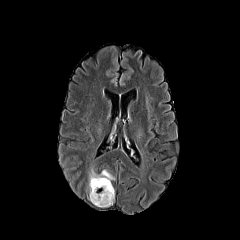
FLAIR MRI.
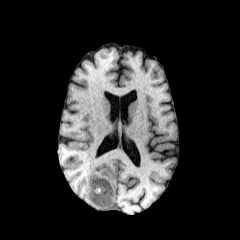
T1-weighted magnetic resonance.
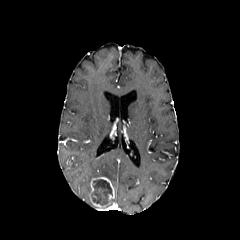
Same slice, post-contrast T1-weighted MR.
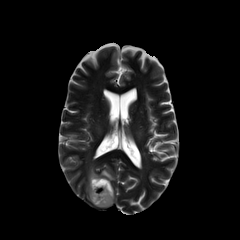
T2-weighted MR image of the same slice.
240x240; Brain
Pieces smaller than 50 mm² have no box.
Findings:
• peritumoral edema: {"x1": 86, "y1": 167, "x2": 114, "y2": 199}
• enhancing tumor: {"x1": 89, "y1": 177, "x2": 114, "y2": 208}
• necrotic tumor core: {"x1": 91, "y1": 179, "x2": 112, "y2": 205}